FLAIR MR.
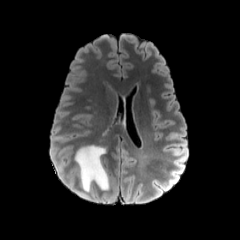
T1-weighted MR.
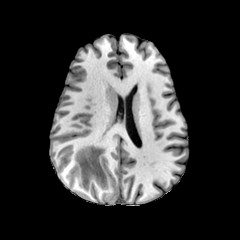
Post-contrast T1-weighted MR image.
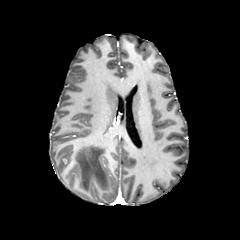
T2-weighted MR.
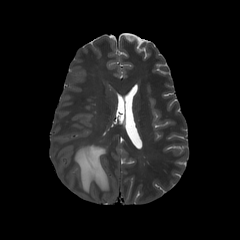
240x240 px. Head. Axial plane.
peritumoral_edema:
  - l=75, t=145, r=109, b=191